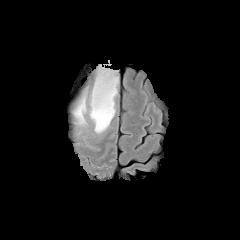
FLAIR MR image.
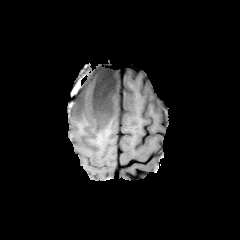
T1-weighted MR.
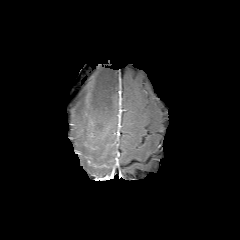
Post-contrast T1-weighted MR.
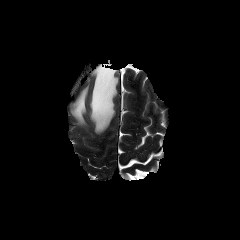
Same slice, T2-weighted MRI.
Image size 240x240
peritumoral edema at rect(73, 88, 87, 125); rect(89, 66, 118, 133)